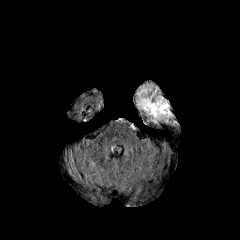
FLAIR MR.
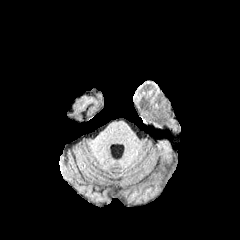
T1-weighted MRI.
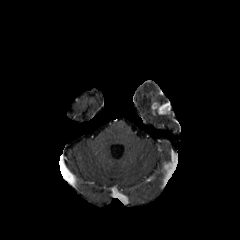
Same slice, post-contrast T1-weighted MR image.
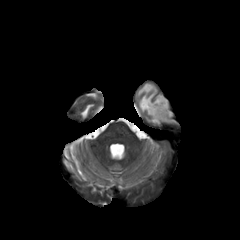
Same slice, T2-weighted MR.
Head.
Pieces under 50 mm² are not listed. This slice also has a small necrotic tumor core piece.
enhancing tumor at bbox(151, 102, 170, 115)
peritumoral edema at bbox(137, 85, 172, 123); bbox(155, 95, 168, 103)